Head.
FLAIR magnetic resonance.
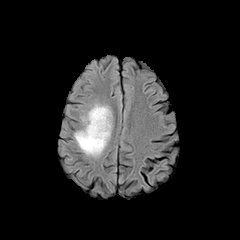
T1-weighted MR image.
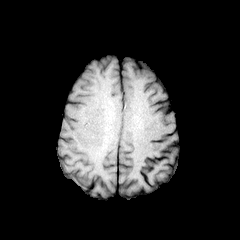
Post-contrast T1-weighted MR.
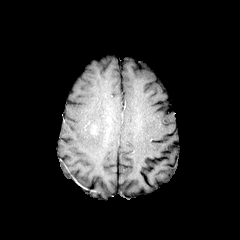
T2-weighted magnetic resonance.
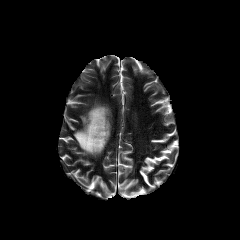
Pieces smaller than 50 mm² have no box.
peritumoral edema: bounding box 74,104,111,155
enhancing tumor: bounding box 90,123,98,134